FLAIR MRI.
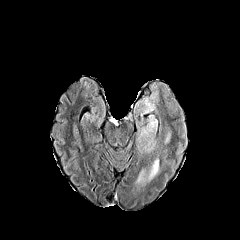
T1-weighted MR.
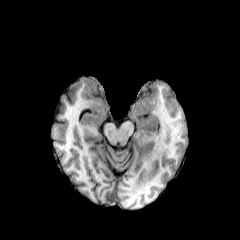
Post-contrast T1-weighted magnetic resonance.
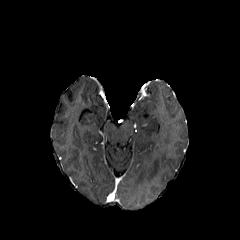
T2-weighted MR.
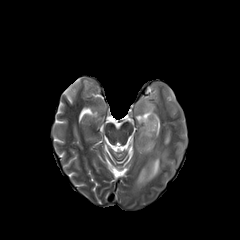
Axial view
peritumoral edema: bounding box (135, 158, 160, 184), (162, 130, 170, 143), (138, 114, 157, 136)